FLAIR MRI.
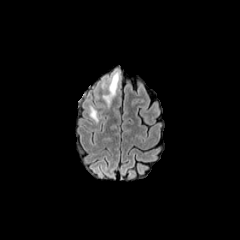
T1-weighted MRI.
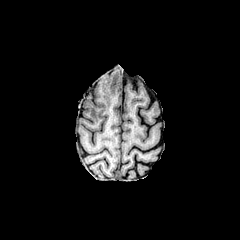
Post-contrast T1-weighted MR.
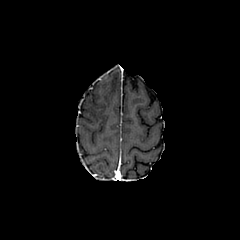
T2-weighted MR.
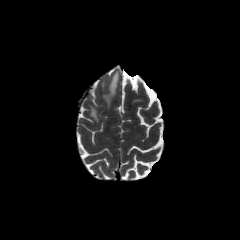
Brain; Axial view
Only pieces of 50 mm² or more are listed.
peritumoral edema: x1=89, y1=106, x2=98, y2=122; x1=103, y1=72, x2=119, y2=107